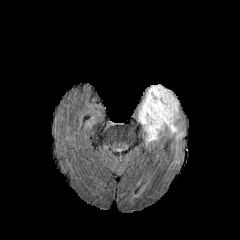
FLAIR MRI.
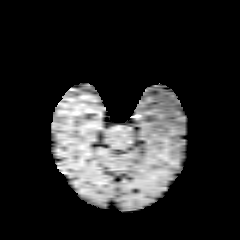
Same slice, T1-weighted magnetic resonance.
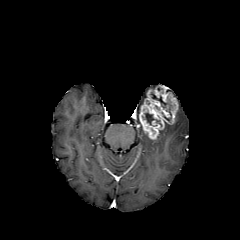
Post-contrast T1-weighted MR.
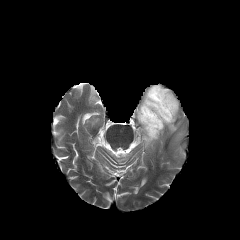
Same slice, T2-weighted MRI.
Head
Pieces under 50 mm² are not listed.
The enhancing tumor is located at {"x1": 139, "y1": 85, "x2": 178, "y2": 139}. The 2 largest peritumoral edema regions are located at {"x1": 165, "y1": 122, "x2": 183, "y2": 140}, {"x1": 145, "y1": 129, "x2": 164, "y2": 145}. The 2 largest necrotic tumor core regions appear at {"x1": 145, "y1": 113, "x2": 154, "y2": 124}, {"x1": 151, "y1": 93, "x2": 166, "y2": 105}.